Head. Axial plane. 240x240.
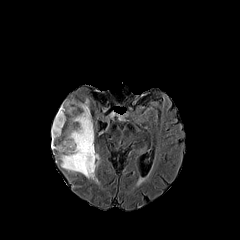
FLAIR MRI.
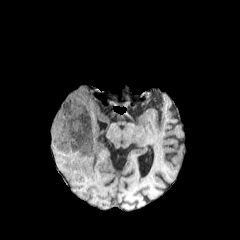
T1-weighted MR of the same slice.
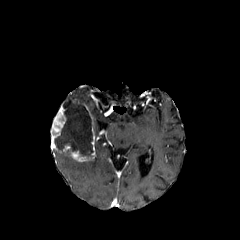
Post-contrast T1-weighted MR.
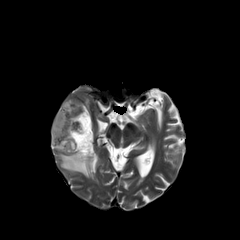
T2-weighted MR.
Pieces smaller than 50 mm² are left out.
The largest necrotic tumor core region lies within left=55, top=99, right=93, bottom=157. The largest peritumoral edema region lies within left=58, top=152, right=96, bottom=179. The 2 largest enhancing tumor regions are bounded by left=63, top=126, right=95, bottom=161; left=50, top=102, right=65, bottom=152.